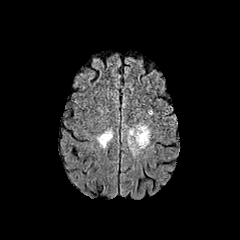
FLAIR MR image.
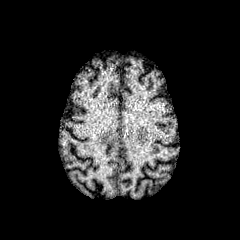
T1-weighted MR.
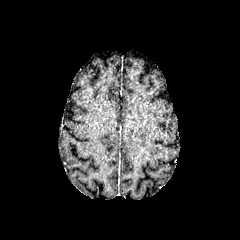
Same slice, post-contrast T1-weighted magnetic resonance.
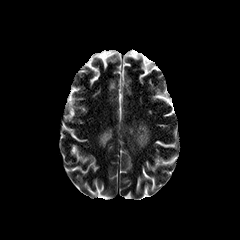
Same slice, T2-weighted MR.
Axial view
peritumoral_edema:
  - (x1=128, y1=122, x2=150, y2=152)
  - (x1=97, y1=129, x2=113, y2=148)